Slice 101 of 155. Head.
FLAIR magnetic resonance.
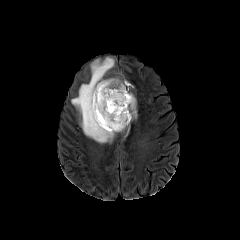
T1-weighted magnetic resonance.
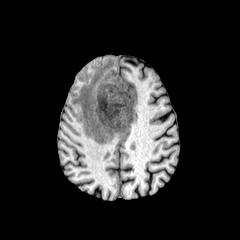
Post-contrast T1-weighted magnetic resonance.
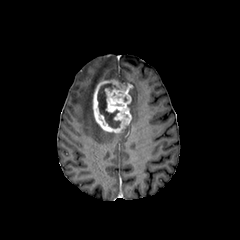
T2-weighted MR image.
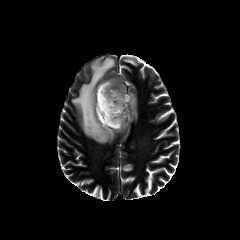
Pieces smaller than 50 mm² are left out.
• necrotic tumor core: 97, 83, 120, 128
• peritumoral edema: 71, 57, 115, 143; 127, 91, 136, 117
• enhancing tumor: 93, 79, 131, 132